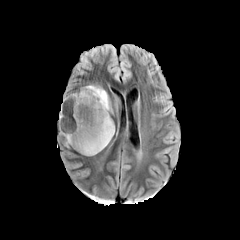
FLAIR MR.
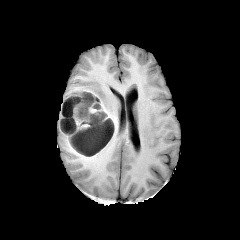
Same slice, T1-weighted magnetic resonance.
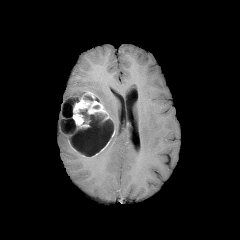
Post-contrast T1-weighted MRI.
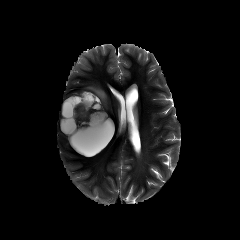
T2-weighted magnetic resonance.
Brain. Image size 240x240.
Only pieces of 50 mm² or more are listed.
enhancing tumor: <box>58,91,114,157</box>
necrotic tumor core: <box>69,109,112,155</box>, <box>60,119,76,134</box>, <box>62,103,73,117</box>, <box>66,96,80,104</box>
peritumoral edema: <box>79,85,112,114</box>